FLAIR MRI.
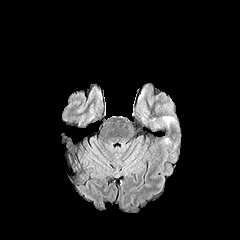
T1-weighted magnetic resonance.
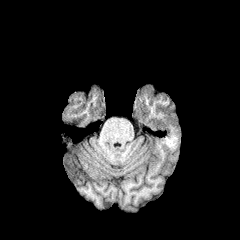
Post-contrast T1-weighted magnetic resonance.
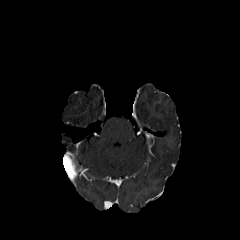
T2-weighted MR.
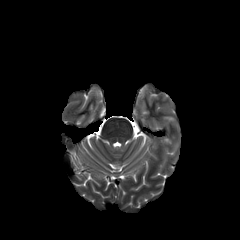
Image size 240x240.
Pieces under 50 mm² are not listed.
Findings:
• peritumoral edema: [161,116,176,127]